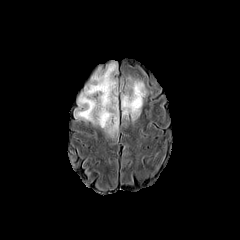
FLAIR magnetic resonance.
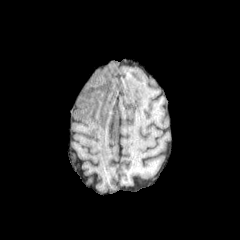
T1-weighted MRI.
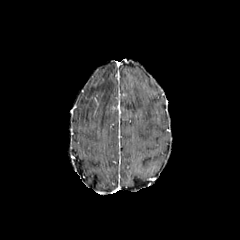
Same slice, post-contrast T1-weighted magnetic resonance.
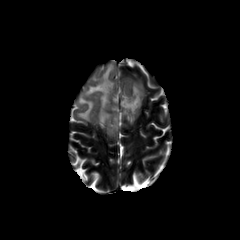
T2-weighted MR image.
Axial slice. Head.
Annotated regions:
- peritumoral edema: box(74, 63, 118, 136); box(121, 78, 146, 120)